Slice 102 of 155. Brain. Image width 240 mm.
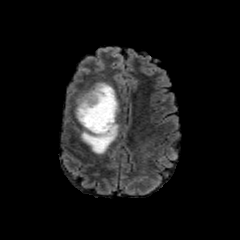
FLAIR MRI.
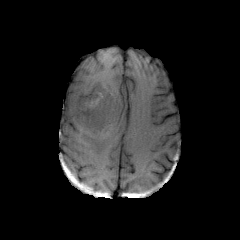
T1-weighted MR.
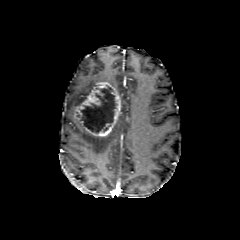
Post-contrast T1-weighted MR.
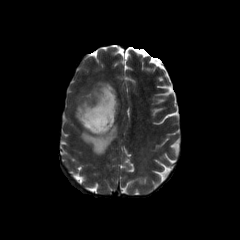
T2-weighted MR.
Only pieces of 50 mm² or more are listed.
{
  "necrotic_tumor_core": [
    "81, 86, 116, 133"
  ],
  "enhancing_tumor": [
    "74, 82, 120, 137"
  ],
  "peritumoral_edema": [
    "80, 122, 119, 154",
    "69, 83, 96, 112"
  ]
}